FLAIR MR.
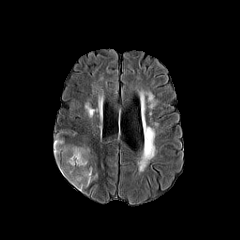
T1-weighted MR.
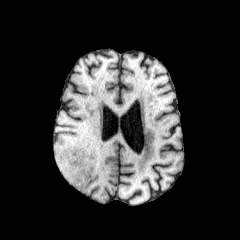
Post-contrast T1-weighted MRI.
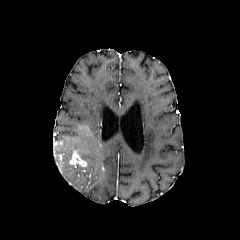
T2-weighted MR.
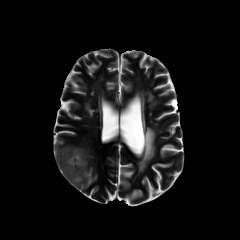
Axial slice
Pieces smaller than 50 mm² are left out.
enhancing tumor: box(69, 150, 87, 167)
peritumoral edema: box(53, 137, 89, 163); box(60, 154, 96, 190)